Slice 89 of 155
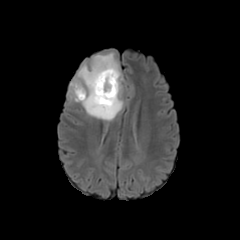
FLAIR MR.
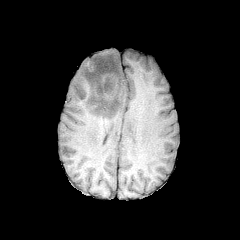
Same slice, T1-weighted magnetic resonance.
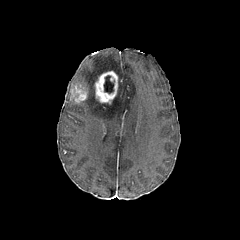
Post-contrast T1-weighted MRI.
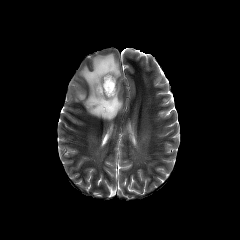
Same slice, T2-weighted MR image.
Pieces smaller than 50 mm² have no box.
Findings:
• necrotic tumor core: x1=104 y1=75 x2=114 y2=93
• peritumoral edema: x1=71 y1=53 x2=123 y2=120
• enhancing tumor: x1=94 y1=71 x2=117 y2=103, x1=70 y1=83 x2=86 y2=102